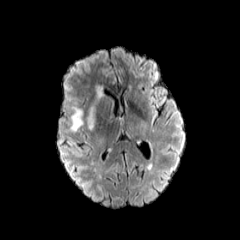
FLAIR MR.
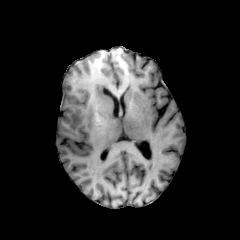
T1-weighted MR image.
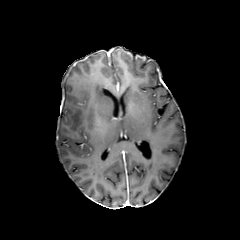
Same slice, post-contrast T1-weighted magnetic resonance.
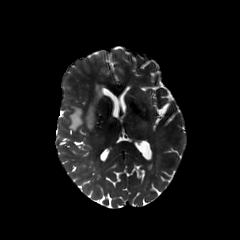
Same slice, T2-weighted MR.
Head
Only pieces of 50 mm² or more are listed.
peritumoral edema: (70, 105, 83, 130), (87, 85, 103, 128)